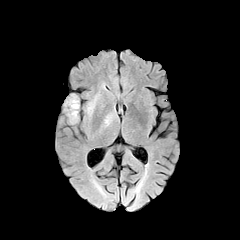
FLAIR MR image.
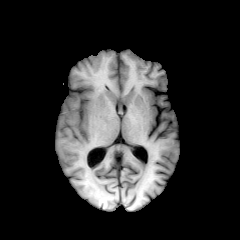
T1-weighted MRI of the same slice.
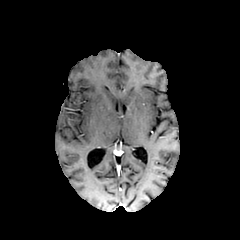
Post-contrast T1-weighted MR.
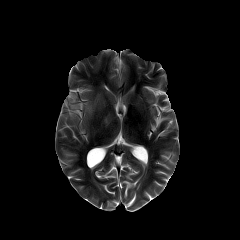
T2-weighted MR image.
Head
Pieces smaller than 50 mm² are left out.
<segmentation>
  <peritumoral_edema>87 96 97 113, 65 96 79 122</peritumoral_edema>
</segmentation>